Slice 91 of 155 | 240x240 px
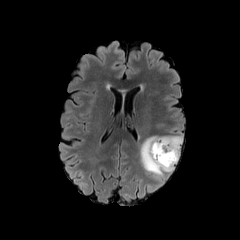
FLAIR MRI.
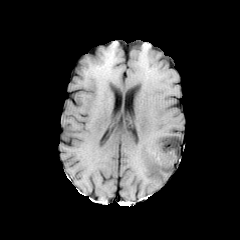
T1-weighted MR.
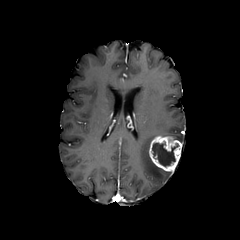
Post-contrast T1-weighted magnetic resonance of the same slice.
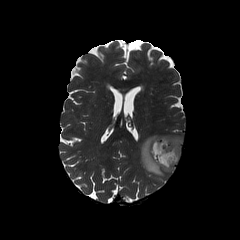
T2-weighted MR.
• peritumoral edema: l=140, t=135, r=182, b=180
• necrotic tumor core: l=152, t=143, r=178, b=166
• enhancing tumor: l=149, t=136, r=181, b=171